Axial view | Image width 240 mm | 240x240
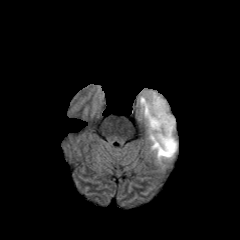
FLAIR MR image.
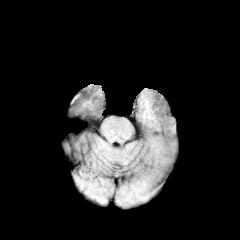
Same slice, T1-weighted magnetic resonance.
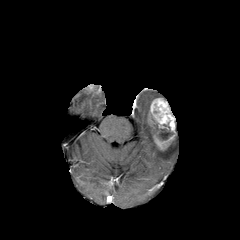
Post-contrast T1-weighted MRI.
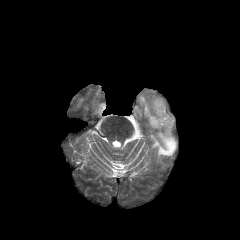
Same slice, T2-weighted magnetic resonance.
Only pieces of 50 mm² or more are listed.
enhancing tumor — (left=148, top=98, right=175, bottom=152)
peritumoral edema — (left=135, top=89, right=177, bottom=164)
necrotic tumor core — (left=158, top=129, right=173, bottom=139)